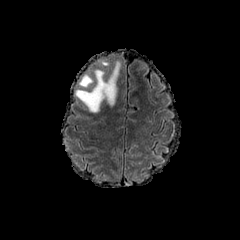
FLAIR MR.
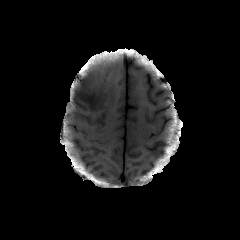
T1-weighted MR image.
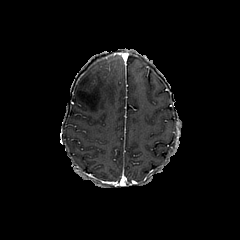
Post-contrast T1-weighted magnetic resonance.
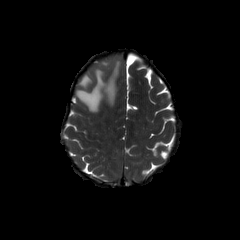
T2-weighted magnetic resonance of the same slice.
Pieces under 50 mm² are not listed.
peritumoral_edema:
  - bbox(75, 62, 119, 112)
  - bbox(79, 74, 92, 87)